Axial plane | Slice 122/155
FLAIR magnetic resonance.
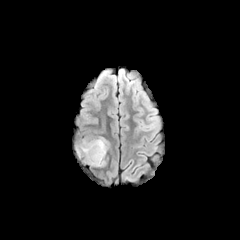
T1-weighted MR.
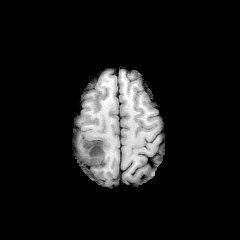
Post-contrast T1-weighted MR.
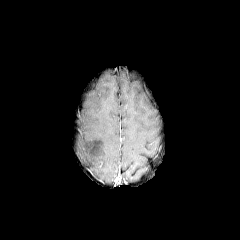
T2-weighted MR image.
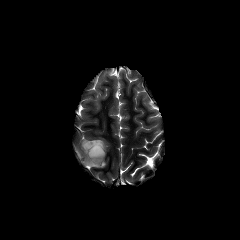
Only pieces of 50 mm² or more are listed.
peritumoral edema: 81 138 108 167